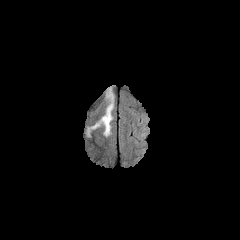
FLAIR MR image.
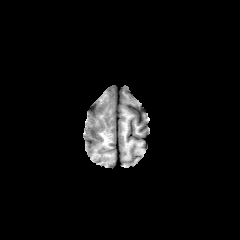
T1-weighted MR image of the same slice.
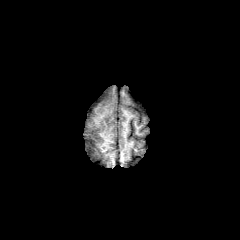
Same slice, post-contrast T1-weighted MR image.
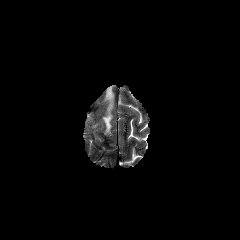
T2-weighted magnetic resonance of the same slice.
240x240 px; Axial view
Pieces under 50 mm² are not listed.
peritumoral edema: (102,103,112,134)